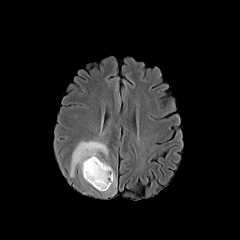
FLAIR MR image.
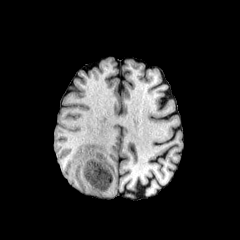
Same slice, T1-weighted MR.
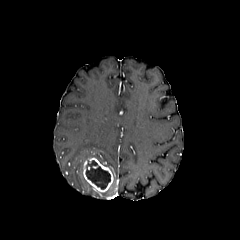
Post-contrast T1-weighted MR image.
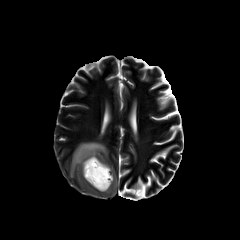
T2-weighted MR.
Head. 240x240.
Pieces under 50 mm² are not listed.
- peritumoral edema: [70, 141, 108, 177], [105, 165, 117, 194]
- enhancing tumor: [83, 157, 113, 192]
- necrotic tumor core: [86, 160, 110, 189]